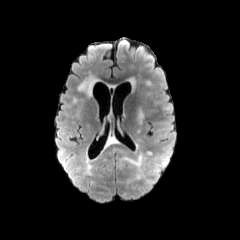
FLAIR MRI.
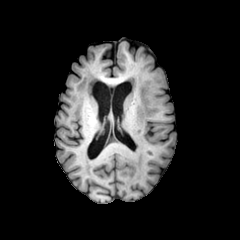
T1-weighted MR of the same slice.
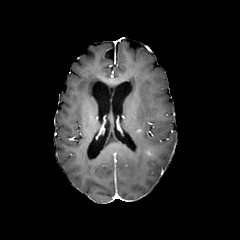
Post-contrast T1-weighted magnetic resonance of the same slice.
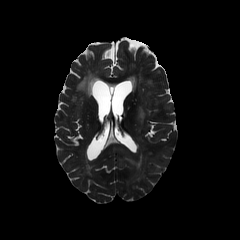
T2-weighted MRI of the same slice.
Brain
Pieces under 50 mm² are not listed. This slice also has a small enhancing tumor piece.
The 2 largest peritumoral edema regions are located at 124 154 142 170, 138 109 144 123.